240x240 px. Brain.
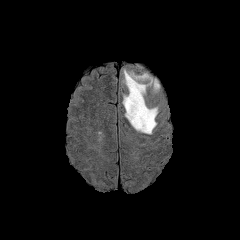
FLAIR MR.
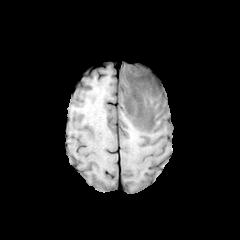
T1-weighted magnetic resonance.
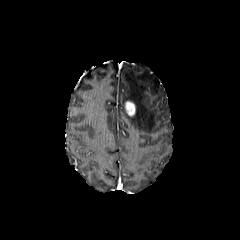
Post-contrast T1-weighted MRI of the same slice.
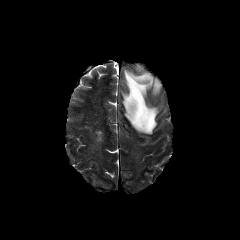
T2-weighted MR.
The enhancing tumor lies within x1=125, y1=101, x2=135, y2=115. The peritumoral edema is located at x1=122, y1=69, x2=159, y2=134.